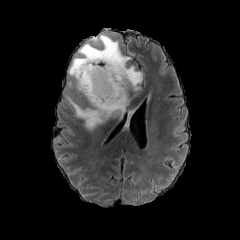
FLAIR magnetic resonance.
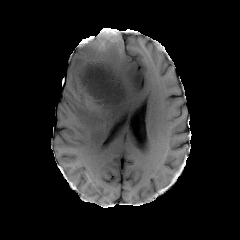
Same slice, T1-weighted MR.
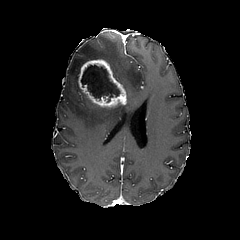
Post-contrast T1-weighted MRI.
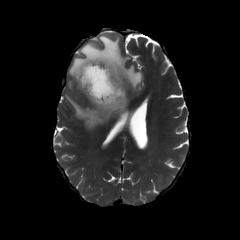
T2-weighted MR.
Brain. 240x240 px. Axial plane.
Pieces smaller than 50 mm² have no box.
necrotic tumor core = 81, 65, 119, 98
peritumoral edema = 68, 33, 142, 93; 66, 95, 126, 129
enhancing tumor = 78, 58, 127, 108